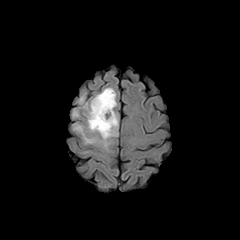
FLAIR magnetic resonance.
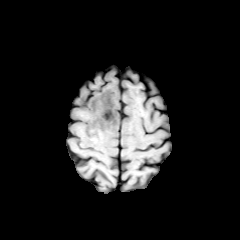
T1-weighted MR image.
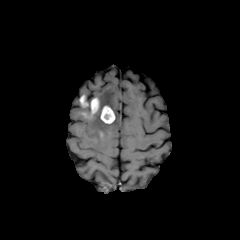
Post-contrast T1-weighted MR of the same slice.
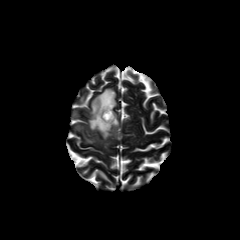
Same slice, T2-weighted MRI.
Brain
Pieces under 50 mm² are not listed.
<segmentation>
  <necrotic_tumor_core>region(103, 110, 111, 119)</necrotic_tumor_core>
  <enhancing_tumor>region(79, 95, 99, 116); region(100, 105, 115, 123)</enhancing_tumor>
  <peritumoral_edema>region(82, 87, 118, 148); region(74, 125, 97, 143)</peritumoral_edema>
</segmentation>